FLAIR MR.
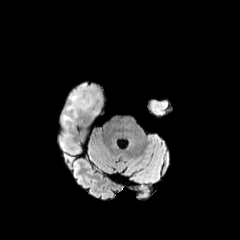
T1-weighted MRI.
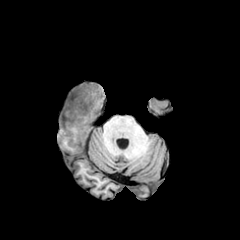
Post-contrast T1-weighted magnetic resonance.
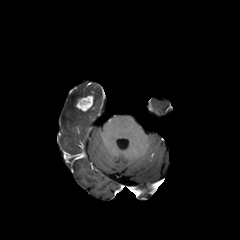
T2-weighted magnetic resonance.
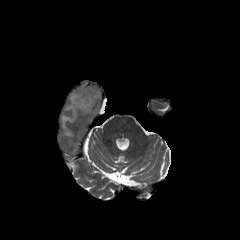
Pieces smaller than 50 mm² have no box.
peritumoral edema — (61, 84, 101, 136)
enhancing tumor — (76, 95, 93, 111)